Axial plane | 240x240 | Head | Slice index 102 | Image covers 240 mm x 240 mm
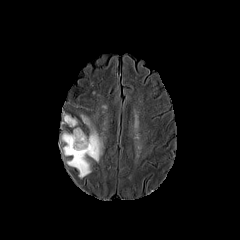
FLAIR MR.
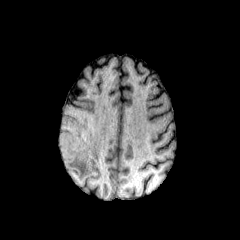
T1-weighted MRI of the same slice.
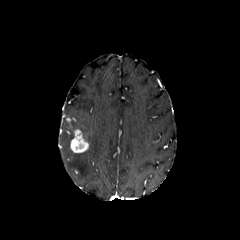
Post-contrast T1-weighted MR.
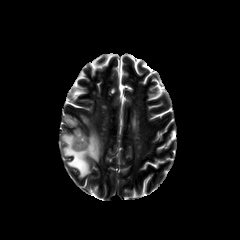
T2-weighted MR.
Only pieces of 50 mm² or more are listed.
peritumoral edema: bbox=[63, 114, 77, 127]; bbox=[61, 115, 103, 178] | enhancing tumor: bbox=[70, 129, 89, 152]